FLAIR MR.
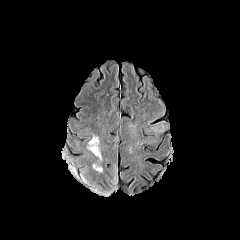
T1-weighted MR image.
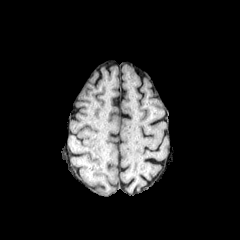
Post-contrast T1-weighted MR.
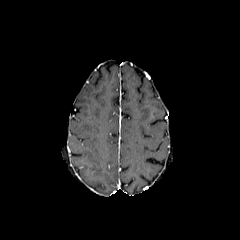
T2-weighted MR.
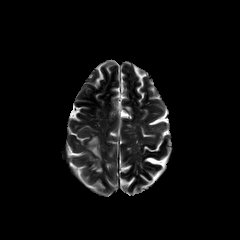
Axial plane | Brain
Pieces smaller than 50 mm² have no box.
peritumoral edema: <bbox>154, 124, 162, 133</bbox>, <bbox>89, 136, 101, 158</bbox>